FLAIR MRI.
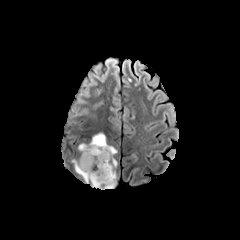
T1-weighted MR.
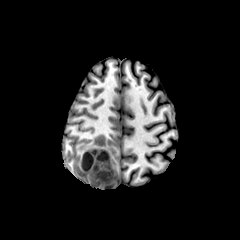
Post-contrast T1-weighted magnetic resonance.
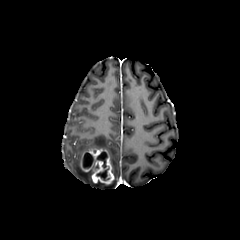
T2-weighted MRI.
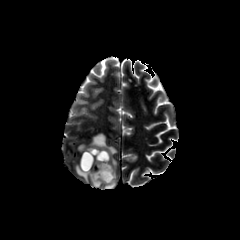
Head
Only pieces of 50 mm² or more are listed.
{"enhancing_tumor": ["80,149,114,184"], "necrotic_tumor_core": ["96,151,109,180", "82,153,94,169"], "peritumoral_edema": ["73,161,102,186", "78,133,117,187"]}